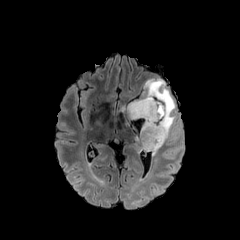
FLAIR MR.
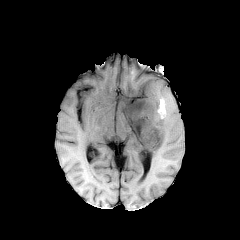
T1-weighted MRI.
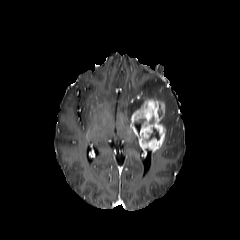
Post-contrast T1-weighted MR image.
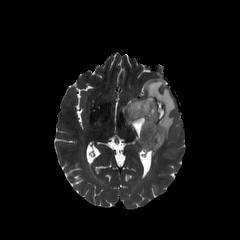
T2-weighted magnetic resonance.
Image size 240x240
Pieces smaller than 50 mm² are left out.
Annotated regions:
- peritumoral edema: box=[124, 79, 176, 144]
- necrotic tumor core: box=[149, 128, 159, 139]; box=[134, 122, 141, 133]
- enhancing tumor: box=[131, 98, 165, 152]